Image width 240 mm, 1.00 mm slice spacing | 240x240 | Slice 83/155 | Axial slice
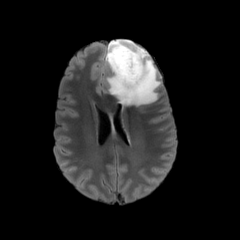
FLAIR MRI.
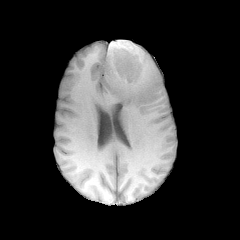
Same slice, T1-weighted magnetic resonance.
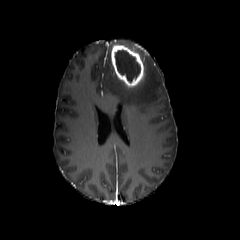
Post-contrast T1-weighted MR.
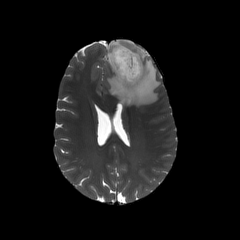
T2-weighted MRI.
The peritumoral edema is bounded by [95,39,161,106]. The enhancing tumor is bounded by [111,44,144,87]. The necrotic tumor core is located at [115,50,140,82].